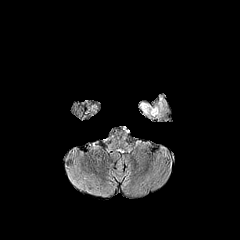
FLAIR MR image.
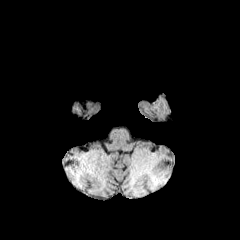
T1-weighted MR image.
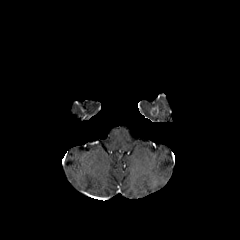
Post-contrast T1-weighted MRI of the same slice.
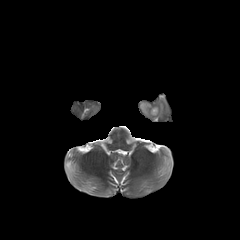
T2-weighted MR image of the same slice.
Head; Axial view
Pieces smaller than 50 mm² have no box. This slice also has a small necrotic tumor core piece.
enhancing tumor: bounding box [x1=150, y1=107, x2=158, y2=116]
peritumoral edema: bounding box [x1=141, y1=103, x2=151, y2=117]